FLAIR magnetic resonance.
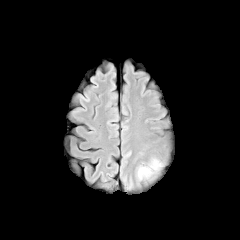
T1-weighted MR.
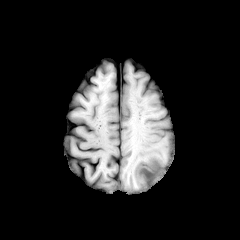
Post-contrast T1-weighted magnetic resonance.
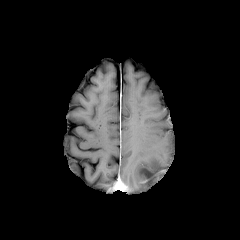
T2-weighted MRI.
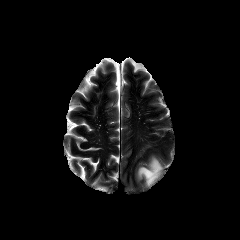
Axial plane; Brain
The peritumoral edema is at bbox(138, 158, 163, 183).